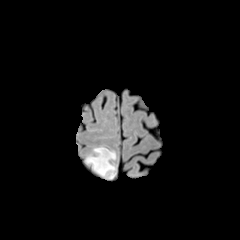
FLAIR MR.
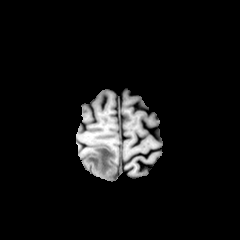
T1-weighted MR image.
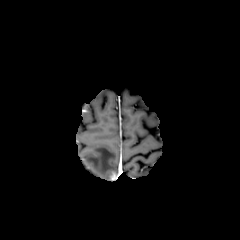
Post-contrast T1-weighted MR.
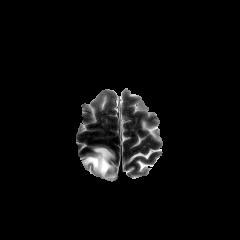
T2-weighted magnetic resonance.
Axial plane; Head
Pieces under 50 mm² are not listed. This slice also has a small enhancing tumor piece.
peritumoral edema: bounding box [x1=86, y1=148, x2=114, y2=175]